FLAIR MR image.
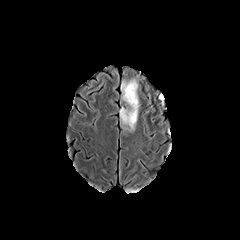
T1-weighted MR image.
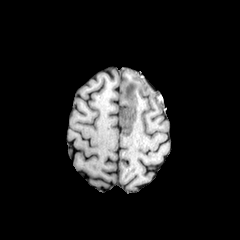
Post-contrast T1-weighted MR.
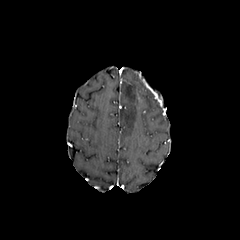
T2-weighted magnetic resonance.
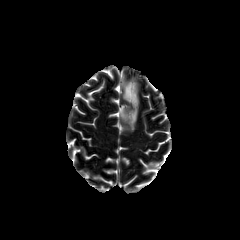
Head. 240x240. Axial slice.
The peritumoral edema lies within left=119, top=77, right=140, bottom=133.